FLAIR MR image.
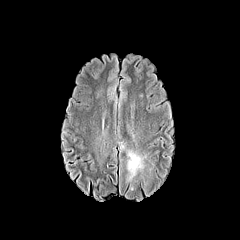
T1-weighted MR.
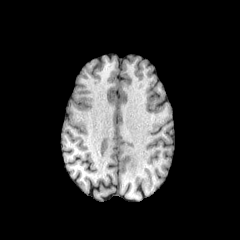
Post-contrast T1-weighted MRI.
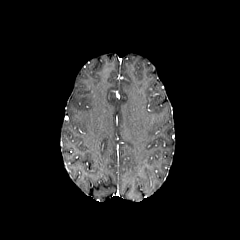
T2-weighted MRI.
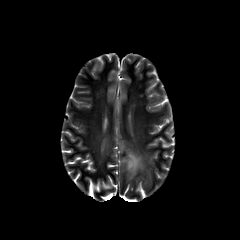
240x240. Axial slice.
Findings:
- peritumoral edema: (x1=127, y1=151, x2=143, y2=180)